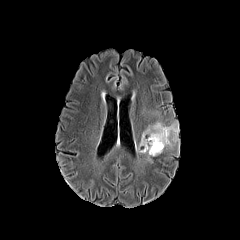
FLAIR MRI.
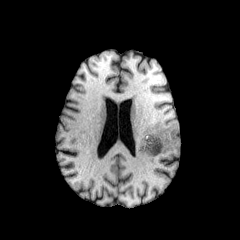
T1-weighted MR of the same slice.
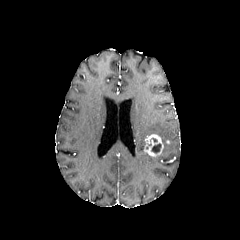
Post-contrast T1-weighted MR image.
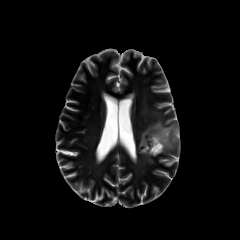
T2-weighted MR image.
Axial slice, 240x240, Head
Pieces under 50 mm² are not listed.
The largest enhancing tumor region is at bbox(144, 134, 163, 156). The largest necrotic tumor core region is located at bbox(152, 143, 161, 152). The largest peritumoral edema region lies within bbox(138, 122, 178, 153).